FLAIR magnetic resonance.
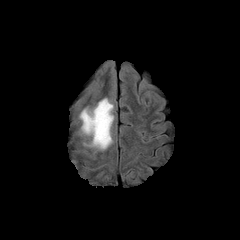
T1-weighted magnetic resonance.
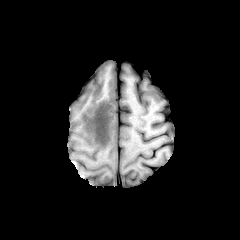
Post-contrast T1-weighted magnetic resonance.
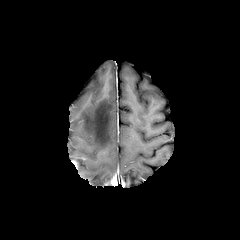
T2-weighted MR.
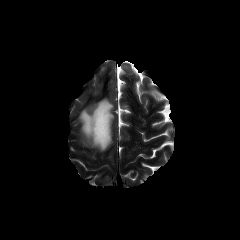
Axial plane
The peritumoral edema is located at <bbox>79, 98, 113, 150</bbox>.